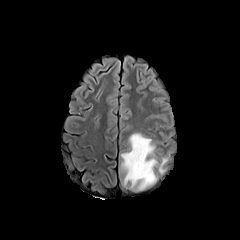
FLAIR magnetic resonance.
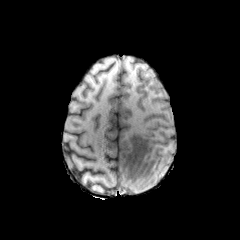
T1-weighted MRI.
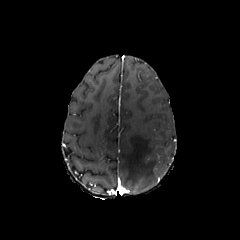
Post-contrast T1-weighted MR of the same slice.
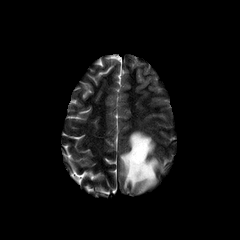
T2-weighted MRI.
Axial plane, Brain
{"peritumoral_edema": ["120 132 168 190"]}